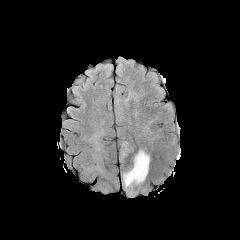
FLAIR MR image.
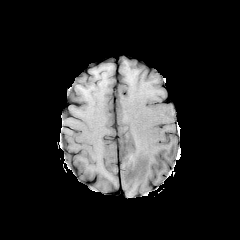
T1-weighted magnetic resonance.
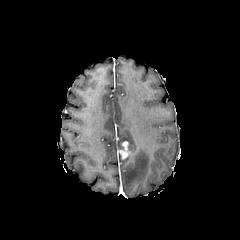
Post-contrast T1-weighted MR.
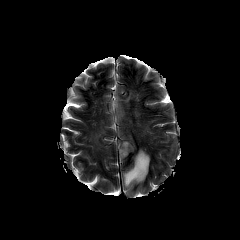
Same slice, T2-weighted magnetic resonance.
Brain; Axial plane
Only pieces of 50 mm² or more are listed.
enhancing tumor: x1=120 y1=141 x2=129 y2=159
peritumoral edema: x1=122 y1=149 x2=150 y2=195